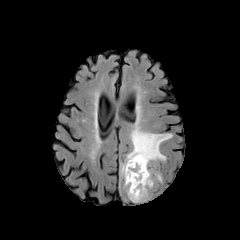
FLAIR MRI.
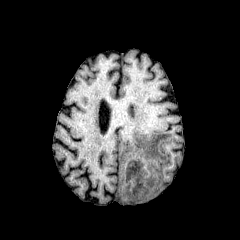
Same slice, T1-weighted MRI.
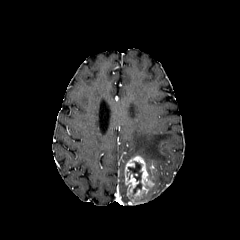
Post-contrast T1-weighted MR image.
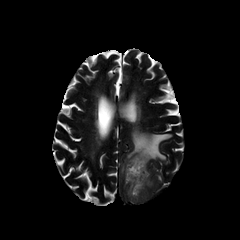
Same slice, T2-weighted MRI.
Head, Axial slice
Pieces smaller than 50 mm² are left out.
<segmentation>
  <peritumoral_edema>(x1=121, y1=127, x2=172, y2=175)</peritumoral_edema>
  <enhancing_tumor>(x1=124, y1=155, x2=154, y2=202)</enhancing_tumor>
  <necrotic_tumor_core>(x1=128, y1=162, x2=141, y2=194)</necrotic_tumor_core>
</segmentation>